Brain. Axial plane. Slice index 81.
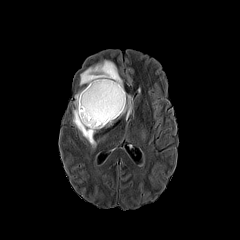
FLAIR MR.
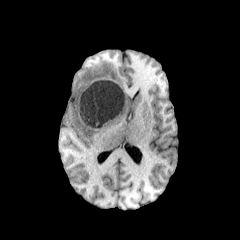
Same slice, T1-weighted MRI.
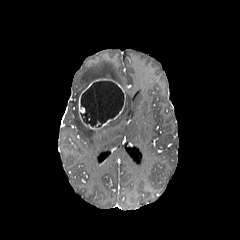
Same slice, post-contrast T1-weighted MR image.
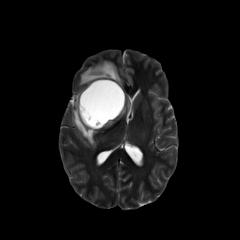
T2-weighted MR image.
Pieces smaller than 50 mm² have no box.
enhancing_tumor:
  - l=78, t=78, r=125, b=129
peritumoral_edema:
  - l=72, t=89, r=96, b=148
  - l=79, t=60, r=123, b=88
  - l=118, t=94, r=132, b=119
necrotic_tumor_core:
  - l=80, t=81, r=124, b=127